Head. Slice 71 of 155. 240x240 px. Axial view.
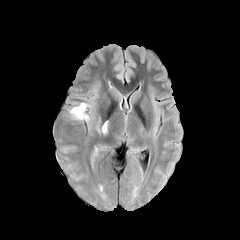
FLAIR MR.
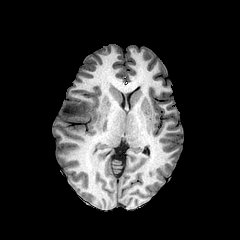
T1-weighted MR.
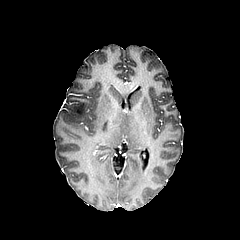
Post-contrast T1-weighted magnetic resonance.
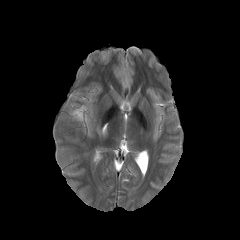
Same slice, T2-weighted MR.
peritumoral edema = [101,122,107,133], [70,103,88,120]